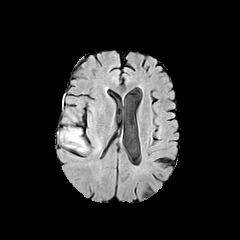
FLAIR MR.
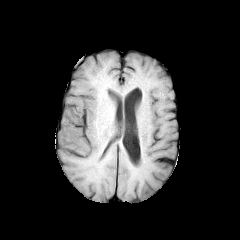
T1-weighted magnetic resonance.
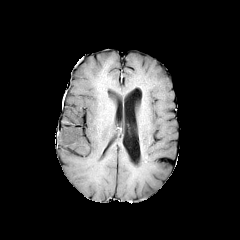
Same slice, post-contrast T1-weighted MR image.
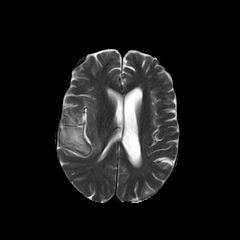
Same slice, T2-weighted MR.
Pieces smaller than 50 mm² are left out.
The largest peritumoral edema region is bounded by 60, 127, 88, 152.